Image width 240 mm, 1.00 mm slice spacing. 240x240 px. Brain. Axial plane.
FLAIR MRI.
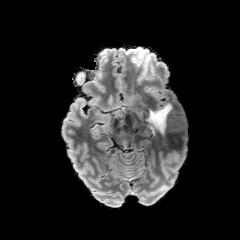
T1-weighted MR image.
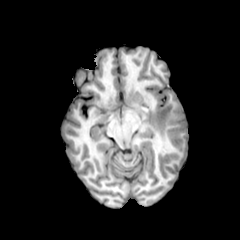
Post-contrast T1-weighted MRI.
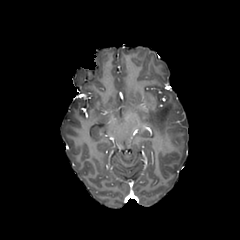
T2-weighted MR image.
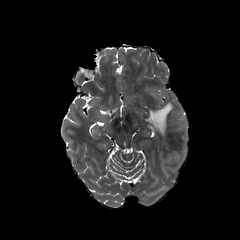
peritumoral edema — (145,102,172,136)